Brain; Axial slice
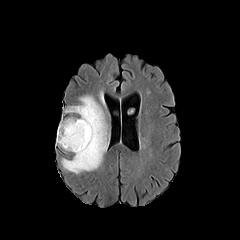
FLAIR magnetic resonance.
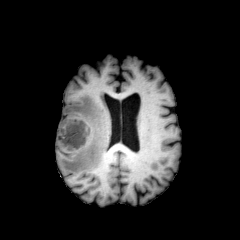
T1-weighted MR.
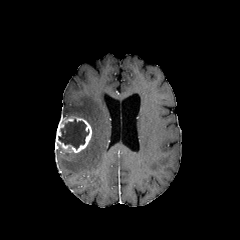
Same slice, post-contrast T1-weighted MR.
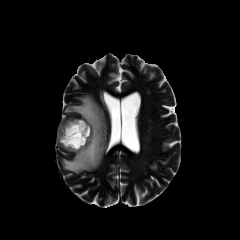
T2-weighted MR of the same slice.
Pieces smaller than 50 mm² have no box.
Segmented structures:
• peritumoral edema: 61, 95, 108, 173
• enhancing tumor: 55, 116, 91, 153
• necrotic tumor core: 58, 119, 88, 149